Head; Axial slice
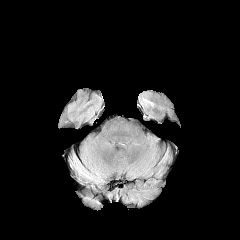
FLAIR MR.
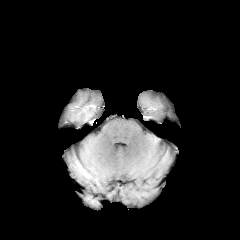
T1-weighted MR.
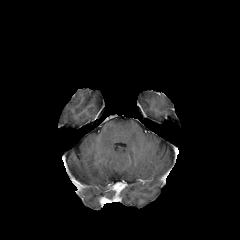
Post-contrast T1-weighted magnetic resonance.
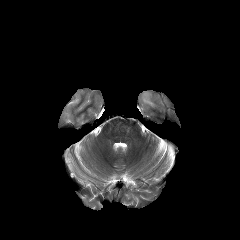
T2-weighted magnetic resonance of the same slice.
peritumoral edema: box(143, 98, 153, 106)